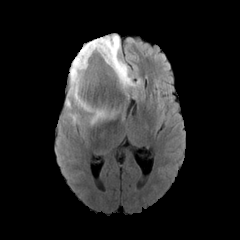
FLAIR magnetic resonance.
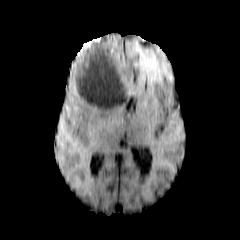
T1-weighted MR image.
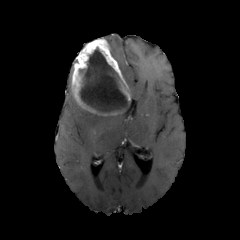
Post-contrast T1-weighted MR image.
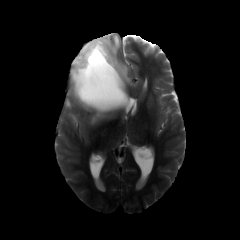
Same slice, T2-weighted MRI.
Brain. Image size 240x240.
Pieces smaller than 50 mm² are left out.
necrotic tumor core: bounding box [x1=80, y1=48, x2=127, y2=112]
enhancing tumor: bounding box [x1=71, y1=37, x2=131, y2=115]
peritumoral edema: bounding box [x1=90, y1=113, x2=113, y2=124], [x1=65, y1=63, x2=81, y2=109], [x1=104, y1=35, x2=141, y2=97], [x1=69, y1=113, x2=79, y2=123]